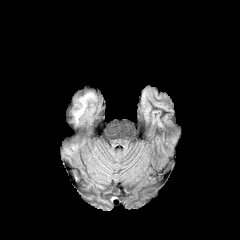
FLAIR magnetic resonance.
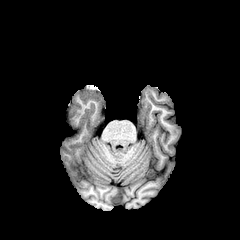
T1-weighted MR image of the same slice.
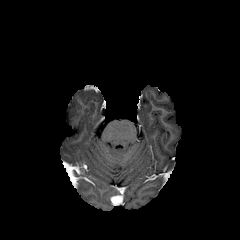
Post-contrast T1-weighted magnetic resonance.
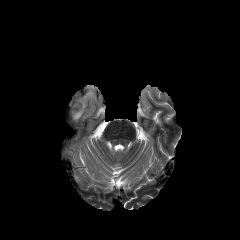
T2-weighted MR of the same slice.
Brain.
peritumoral edema at (74,93,92,121)